FLAIR MR.
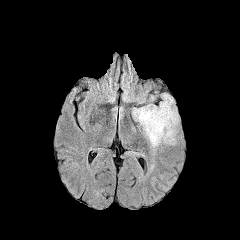
T1-weighted MRI.
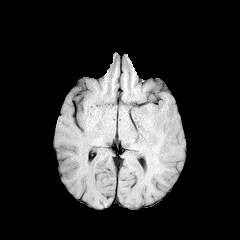
Post-contrast T1-weighted MR image.
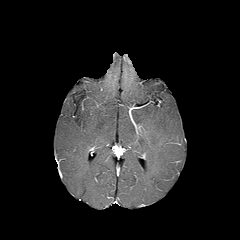
T2-weighted magnetic resonance.
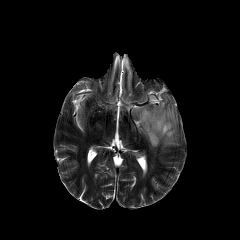
240x240. Head. Axial plane.
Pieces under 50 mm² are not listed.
<segmentation>
  <peritumoral_edema>l=133, t=94, r=178, b=148</peritumoral_edema>
</segmentation>